Slice 44 of 155
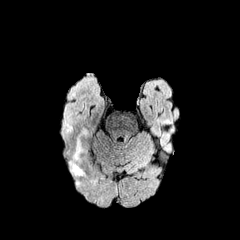
FLAIR MR image.
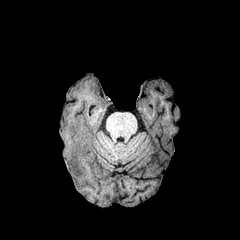
T1-weighted MRI of the same slice.
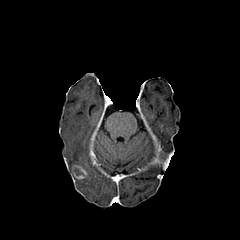
Post-contrast T1-weighted magnetic resonance.
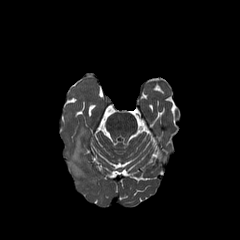
Same slice, T2-weighted magnetic resonance.
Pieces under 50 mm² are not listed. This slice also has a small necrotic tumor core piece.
{
  "peritumoral_edema": [
    "[68, 139, 83, 174]"
  ],
  "enhancing_tumor": [
    "[72, 164, 86, 179]"
  ]
}